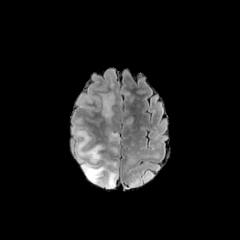
FLAIR MR.
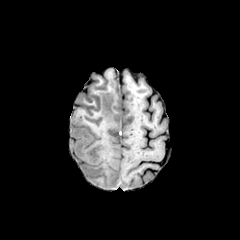
Same slice, T1-weighted MR image.
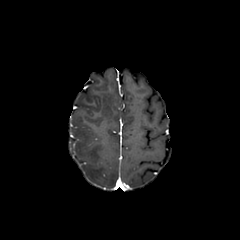
Post-contrast T1-weighted MRI of the same slice.
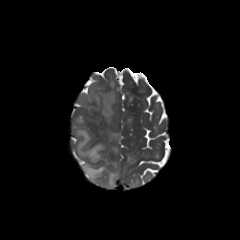
T2-weighted magnetic resonance.
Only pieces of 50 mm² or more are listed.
The 3 largest peritumoral edema regions appear at bbox(130, 179, 140, 186); bbox(73, 127, 118, 188); bbox(102, 93, 114, 118).